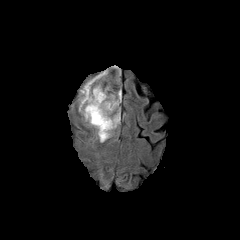
FLAIR MRI.
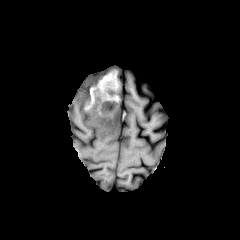
T1-weighted MR image.
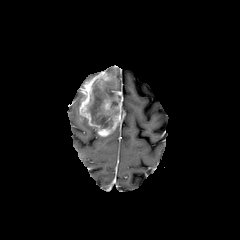
Same slice, post-contrast T1-weighted MR image.
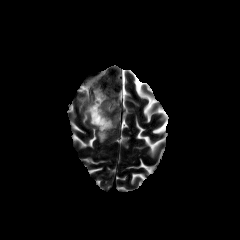
Same slice, T2-weighted MR.
Axial view | Head
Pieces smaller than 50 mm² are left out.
necrotic tumor core at bbox(88, 67, 119, 128)
enhancing tumor at bbox(79, 67, 124, 136)
peritumoral edema at bbox(96, 130, 113, 142)